Slice 63/155, Brain, Axial view
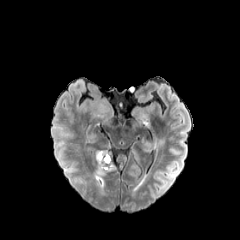
FLAIR MR.
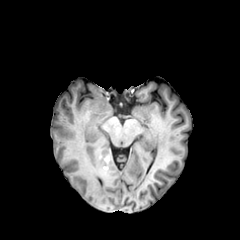
T1-weighted MR image.
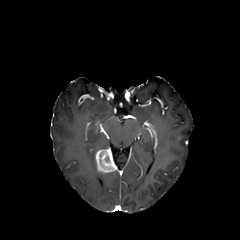
Same slice, post-contrast T1-weighted MRI.
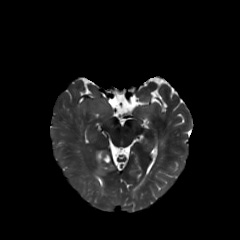
Same slice, T2-weighted MR.
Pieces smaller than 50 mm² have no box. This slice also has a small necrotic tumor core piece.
enhancing tumor: box(95, 149, 116, 173) | peritumoral edema: box(93, 168, 104, 190)